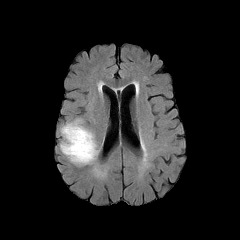
FLAIR MR.
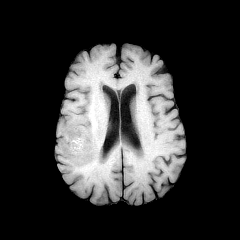
T1-weighted MRI of the same slice.
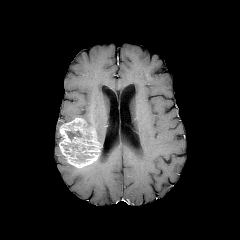
Same slice, post-contrast T1-weighted MR.
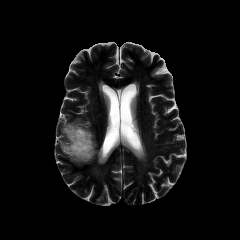
T2-weighted magnetic resonance.
240x240 px. Head.
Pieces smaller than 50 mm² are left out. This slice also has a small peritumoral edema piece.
The 2 largest necrotic tumor core regions are located at {"x1": 66, "y1": 130, "x2": 91, "y2": 140}, {"x1": 63, "y1": 144, "x2": 91, "y2": 161}. The largest enhancing tumor region is located at {"x1": 59, "y1": 118, "x2": 100, "y2": 167}.